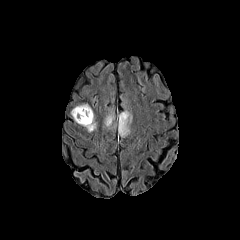
FLAIR magnetic resonance.
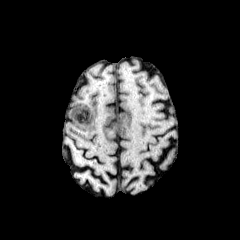
T1-weighted MR image.
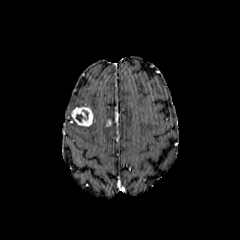
Same slice, post-contrast T1-weighted MR.
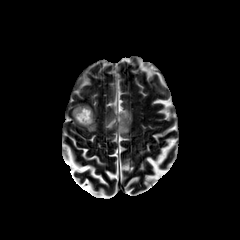
T2-weighted magnetic resonance of the same slice.
Axial plane, Head
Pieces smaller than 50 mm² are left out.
necrotic tumor core at box=[76, 110, 88, 122]
enhancing tumor at box=[71, 106, 93, 126]
peritumoral edema at box=[118, 110, 132, 137]; box=[84, 116, 96, 132]; box=[105, 111, 114, 124]